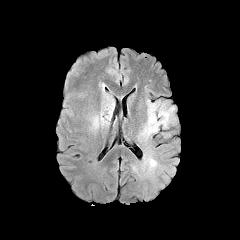
FLAIR magnetic resonance.
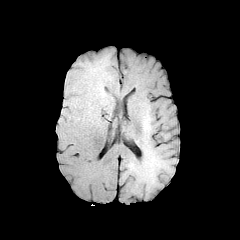
T1-weighted MRI.
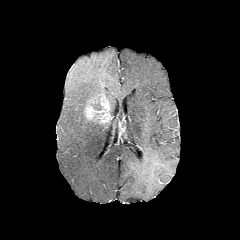
Post-contrast T1-weighted MR image.
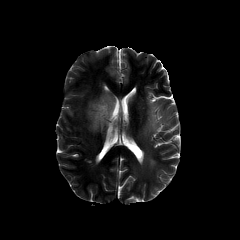
T2-weighted MR image of the same slice.
Head.
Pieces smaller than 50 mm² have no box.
peritumoral edema: 87 94 114 128, 132 87 178 187 | enhancing tumor: 86 102 110 122